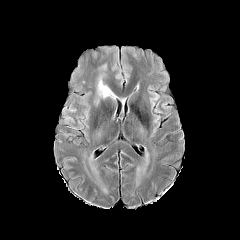
FLAIR MR.
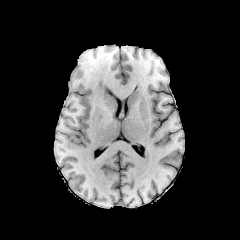
Same slice, T1-weighted magnetic resonance.
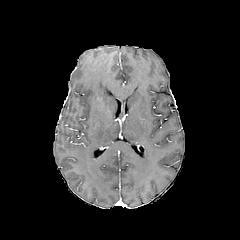
Post-contrast T1-weighted MR.
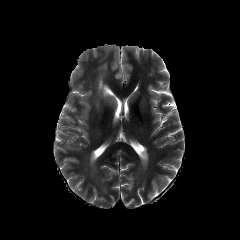
Same slice, T2-weighted MR image.
240x240 px. Axial slice.
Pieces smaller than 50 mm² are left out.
peritumoral edema = bbox=[97, 75, 115, 98]